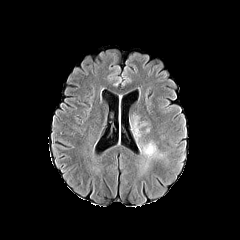
FLAIR MRI.
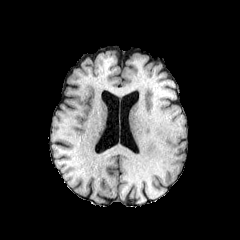
T1-weighted MR.
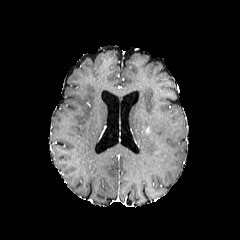
Post-contrast T1-weighted magnetic resonance of the same slice.
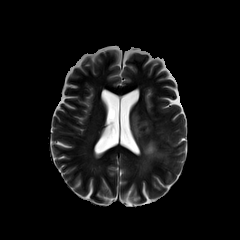
T2-weighted MR image.
Axial view
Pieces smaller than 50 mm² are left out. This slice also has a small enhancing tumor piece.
2 peritumoral edema regions are located at 131:112:147:140, 139:142:165:173.